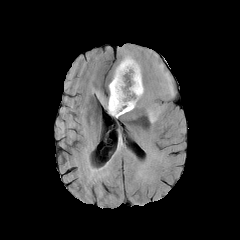
FLAIR MR image.
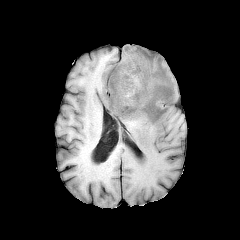
T1-weighted MR of the same slice.
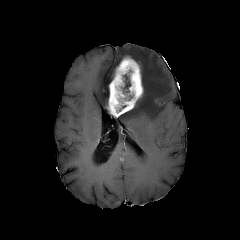
Post-contrast T1-weighted magnetic resonance.
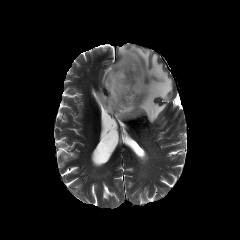
T2-weighted magnetic resonance of the same slice.
240x240
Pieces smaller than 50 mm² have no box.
necrotic tumor core: region(124, 75, 130, 92) | peritumoral edema: region(96, 92, 108, 108); region(118, 46, 174, 123) | enhancing tumor: region(107, 56, 143, 117)